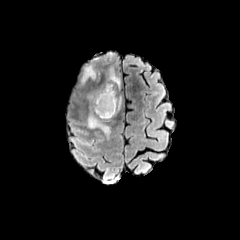
FLAIR MRI.
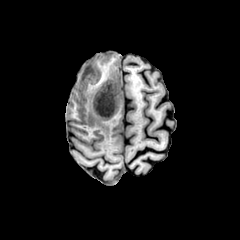
T1-weighted MR.
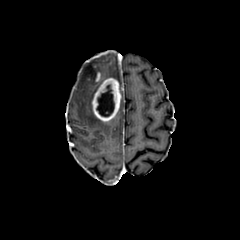
Post-contrast T1-weighted MRI of the same slice.
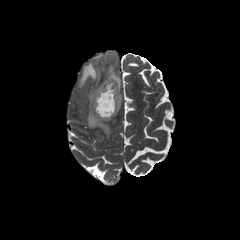
Same slice, T2-weighted MR.
Head
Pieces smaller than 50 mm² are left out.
The enhancing tumor appears at [92, 78, 121, 121]. The necrotic tumor core lies within [96, 84, 114, 116]. The 3 largest peritumoral edema regions are bounded by [108, 67, 120, 88], [87, 106, 110, 137], [79, 64, 96, 87].